Brain | Image covers 240 mm x 240 mm
FLAIR MRI.
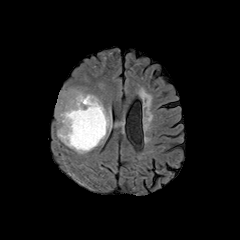
T1-weighted MR image.
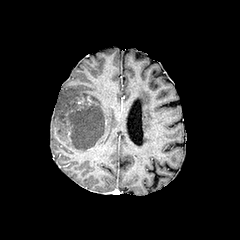
Post-contrast T1-weighted MR image.
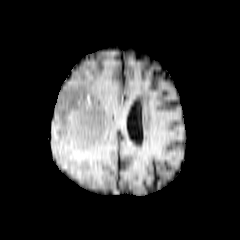
T2-weighted magnetic resonance.
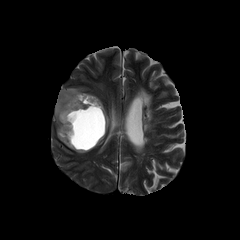
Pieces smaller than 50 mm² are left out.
necrotic tumor core: region(71, 105, 105, 149)
peritumoral edema: region(89, 94, 111, 132); region(56, 88, 105, 153)
enhancing tumor: region(86, 94, 93, 108)